FLAIR magnetic resonance.
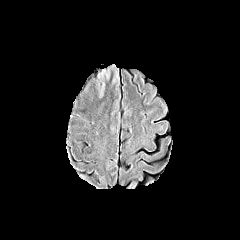
T1-weighted MR image.
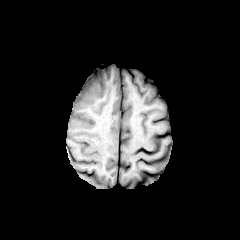
Post-contrast T1-weighted MR.
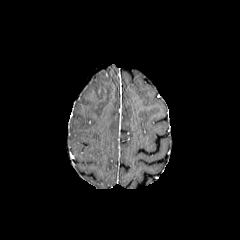
T2-weighted MR.
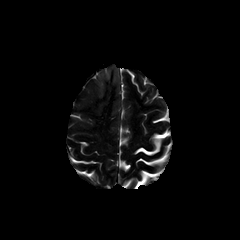
Brain | Axial view
<segmentation>
  <peritumoral_edema>bbox=[84, 65, 118, 97]</peritumoral_edema>
</segmentation>